Image size 240x240 | Axial slice
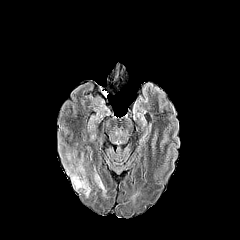
FLAIR MR.
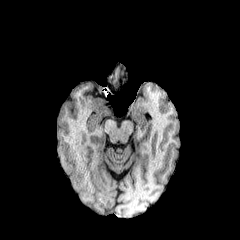
T1-weighted MR image.
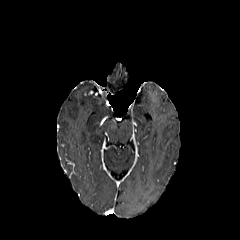
Post-contrast T1-weighted magnetic resonance.
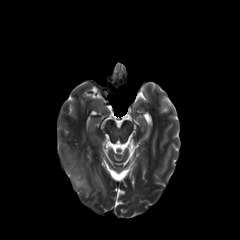
T2-weighted magnetic resonance.
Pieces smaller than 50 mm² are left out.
peritumoral_edema:
  - (71, 175, 90, 196)
  - (95, 174, 105, 193)